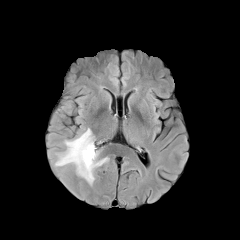
FLAIR MR image.
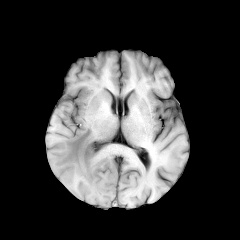
T1-weighted MR of the same slice.
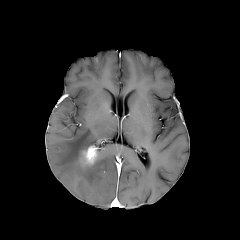
Same slice, post-contrast T1-weighted MR.
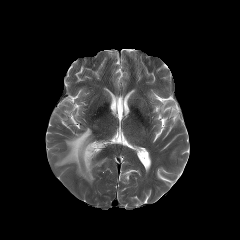
T2-weighted magnetic resonance.
Head. 240x240.
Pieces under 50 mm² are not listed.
Annotated regions:
- enhancing tumor: (left=78, top=145, right=97, bottom=169)
- peritumoral edema: (left=55, top=128, right=108, bottom=184)